FLAIR MR.
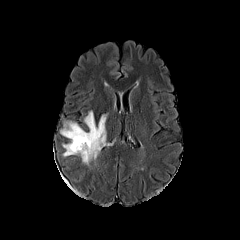
T1-weighted MR.
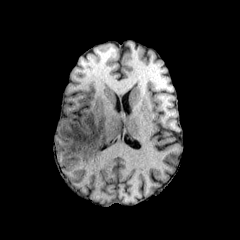
Post-contrast T1-weighted MRI.
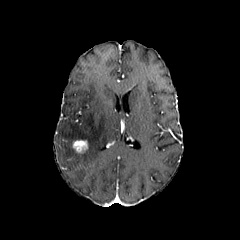
T2-weighted MR.
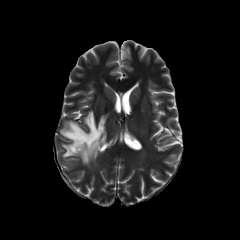
Head | Axial view
The peritumoral edema is at left=60, top=110, right=107, bottom=165. The enhancing tumor is located at left=72, top=139, right=88, bottom=153.